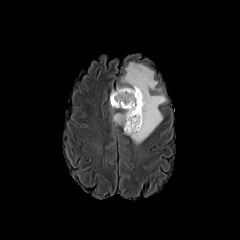
FLAIR MR.
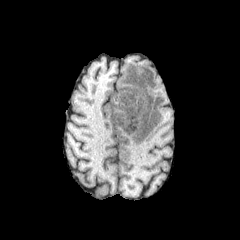
T1-weighted MR of the same slice.
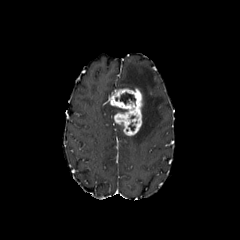
Post-contrast T1-weighted MR.
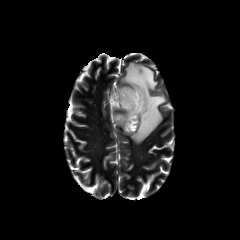
T2-weighted MR.
Axial view; 240x240 px; Head
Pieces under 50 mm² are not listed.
peritumoral_edema:
  - (109, 106, 117, 125)
  - (116, 61, 167, 144)
necrotic_tumor_core:
  - (120, 92, 135, 104)
enhancing_tumor:
  - (109, 88, 142, 135)